Image width 240 mm. Brain. Axial plane.
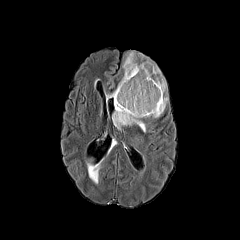
FLAIR magnetic resonance.
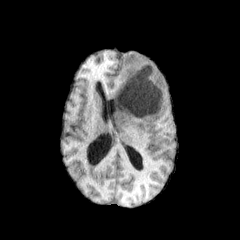
T1-weighted MR image.
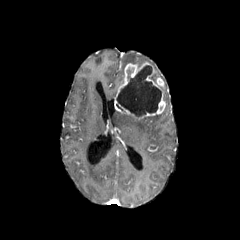
Post-contrast T1-weighted MRI of the same slice.
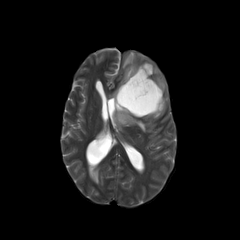
T2-weighted magnetic resonance of the same slice.
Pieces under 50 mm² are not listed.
peritumoral edema at (122,52,136,68), (106,77,123,97), (112,111,145,131), (87,164,100,183)
enhancing tumor at (114,62,165,119)
necrotic tumor core at (116,65,161,117)